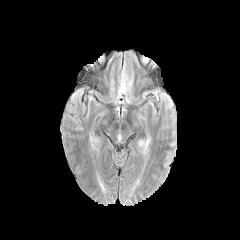
FLAIR MR image.
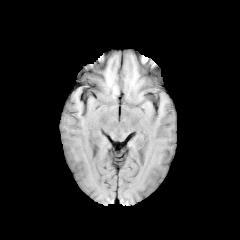
Same slice, T1-weighted MR image.
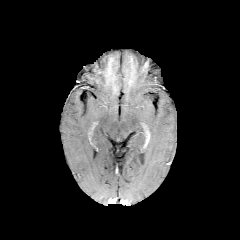
Post-contrast T1-weighted MR of the same slice.
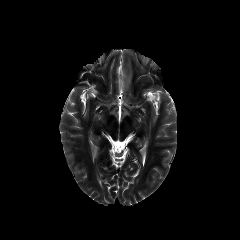
Same slice, T2-weighted MR.
Axial slice. Head.
The peritumoral edema lies within l=120, t=70, r=130, b=90.